FLAIR MRI.
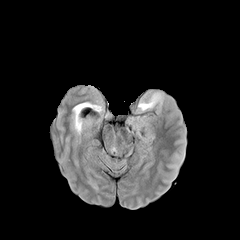
T1-weighted MRI.
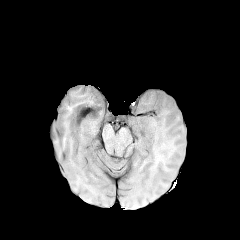
Post-contrast T1-weighted magnetic resonance.
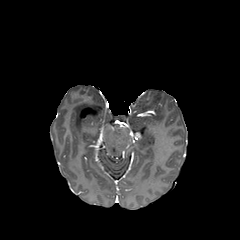
T2-weighted magnetic resonance.
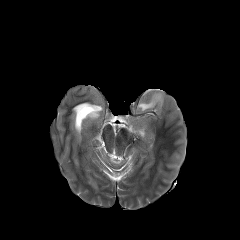
240x240
Findings:
* peritumoral edema: [138,94,161,110]